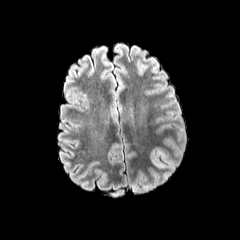
FLAIR magnetic resonance.
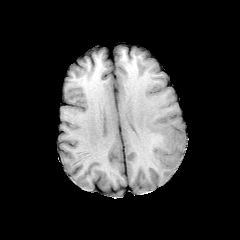
T1-weighted MR.
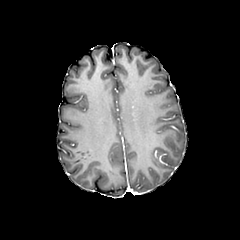
Post-contrast T1-weighted magnetic resonance.
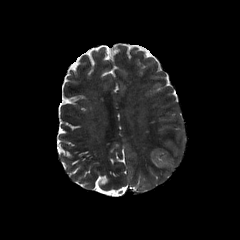
Same slice, T2-weighted magnetic resonance.
Image size 240x240
• peritumoral edema: (left=151, top=149, right=176, bottom=168)